FLAIR MRI.
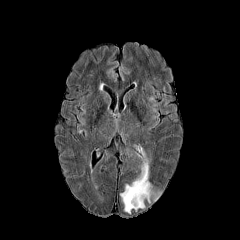
T1-weighted MR image.
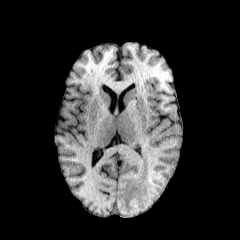
Post-contrast T1-weighted MR image.
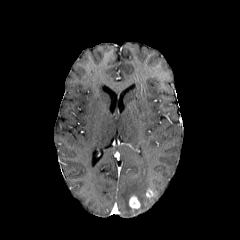
T2-weighted MRI.
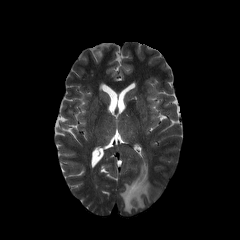
Brain
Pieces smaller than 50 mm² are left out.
enhancing tumor: bounding box 146, 189, 154, 197; 129, 195, 140, 208
peritumoral edema: bounding box 120, 144, 161, 213